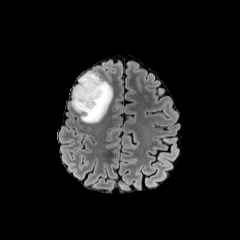
FLAIR MRI.
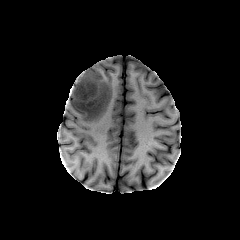
T1-weighted MR image of the same slice.
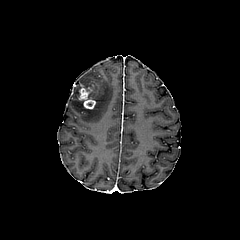
Post-contrast T1-weighted MRI.
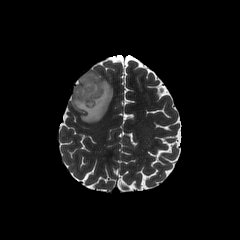
T2-weighted MR.
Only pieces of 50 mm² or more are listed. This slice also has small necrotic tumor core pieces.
enhancing tumor: bbox(78, 84, 96, 109) | peritumoral edema: bbox(70, 71, 112, 123)